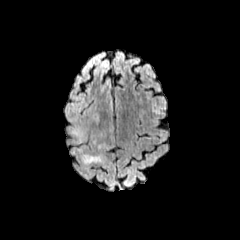
FLAIR MR image.
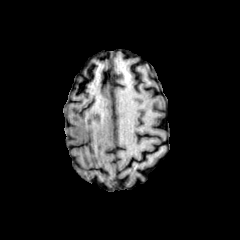
Same slice, T1-weighted MR image.
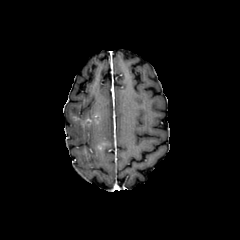
Post-contrast T1-weighted MRI.
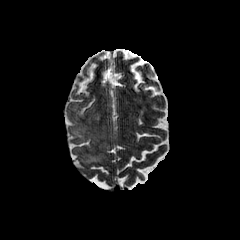
Same slice, T2-weighted MR image.
Image size 240x240, Axial view
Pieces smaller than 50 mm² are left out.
<segmentation>
  <enhancing_tumor>box(81, 113, 99, 124)</enhancing_tumor>
  <peritumoral_edema>box(69, 119, 86, 142); box(81, 154, 102, 164)</peritumoral_edema>
</segmentation>